Slice index 99; Head
FLAIR MR image.
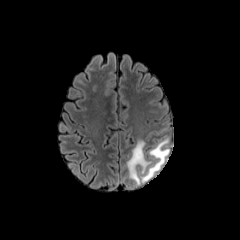
T1-weighted MR image.
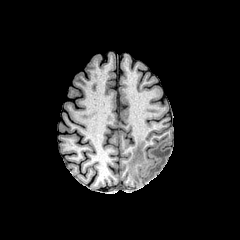
Post-contrast T1-weighted MRI.
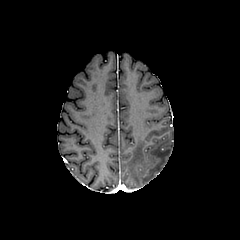
T2-weighted magnetic resonance.
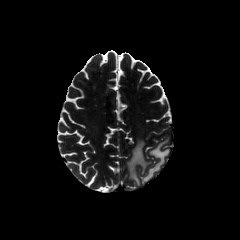
<segmentation>
  <peritumoral_edema>126:138:169:185</peritumoral_edema>
</segmentation>